FLAIR magnetic resonance.
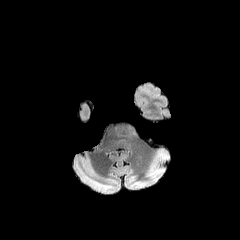
T1-weighted MRI.
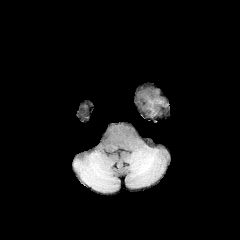
Post-contrast T1-weighted MR image.
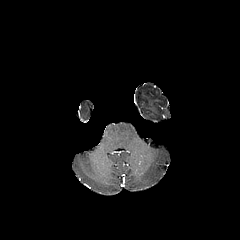
T2-weighted magnetic resonance.
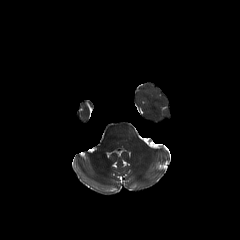
240x240 px; Axial slice
peritumoral_edema:
  - bbox=[121, 125, 134, 135]